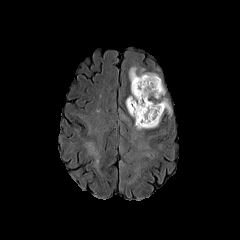
FLAIR MRI.
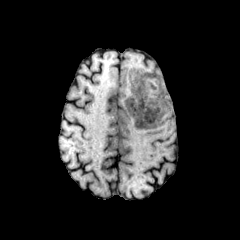
Same slice, T1-weighted MRI.
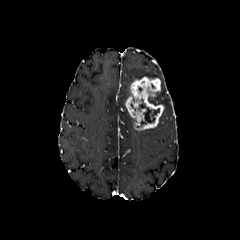
Same slice, post-contrast T1-weighted magnetic resonance.
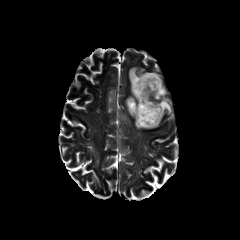
T2-weighted MRI.
240x240
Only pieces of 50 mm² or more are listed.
<segmentation>
  <peritumoral_edema>129, 67, 165, 99; 148, 97, 171, 114</peritumoral_edema>
  <necrotic_tumor_core>139, 103, 159, 125</necrotic_tumor_core>
  <enhancing_tumor>125, 76, 164, 130</enhancing_tumor>
</segmentation>